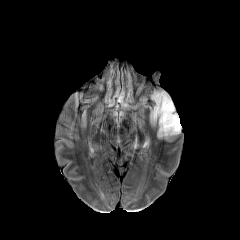
FLAIR MR image.
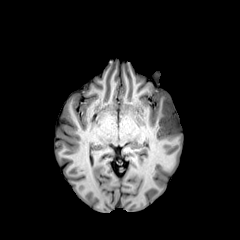
T1-weighted MR image of the same slice.
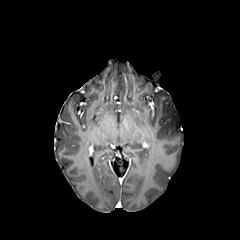
Post-contrast T1-weighted MRI.
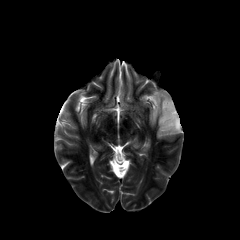
Same slice, T2-weighted MRI.
Axial slice
<segmentation>
  <peritumoral_edema>left=153, top=91, right=180, bottom=137</peritumoral_edema>
</segmentation>